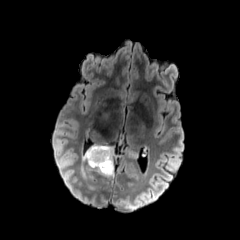
FLAIR magnetic resonance.
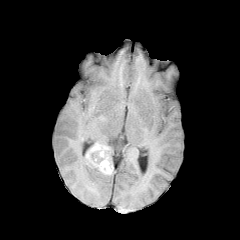
T1-weighted MRI of the same slice.
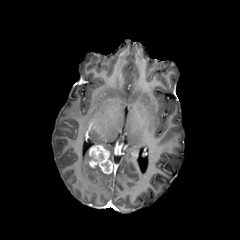
Post-contrast T1-weighted MRI.
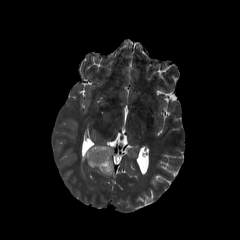
T2-weighted magnetic resonance of the same slice.
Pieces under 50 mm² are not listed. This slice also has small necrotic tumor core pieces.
The largest enhancing tumor region appears at [x1=88, y1=145, x2=113, y2=174]. 4 peritumoral edema regions appear at [x1=82, y1=148, x2=89, y2=163], [x1=81, y1=165, x2=87, y2=178], [x1=91, y1=141, x2=114, y2=163], [x1=95, y1=166, x2=113, y2=177].